FLAIR MR.
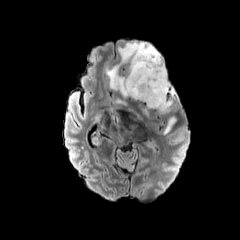
T1-weighted magnetic resonance.
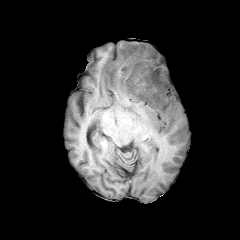
Post-contrast T1-weighted MR.
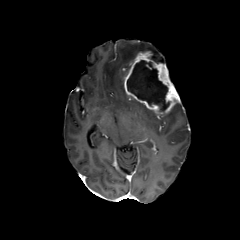
T2-weighted MRI.
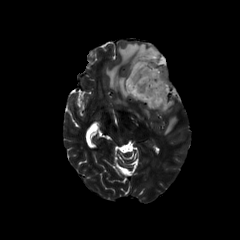
240x240 px; Axial plane
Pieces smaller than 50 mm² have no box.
enhancing tumor: (123, 51, 179, 116)
peritumoral edema: (141, 107, 148, 117), (106, 42, 164, 98), (163, 116, 176, 134)
necrotic tumor core: (127, 60, 169, 111)